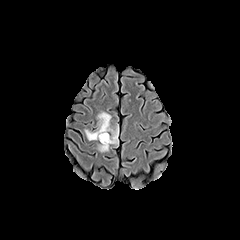
FLAIR MRI.
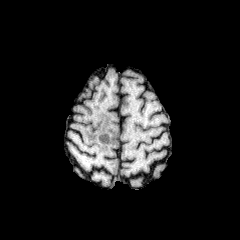
T1-weighted MR image.
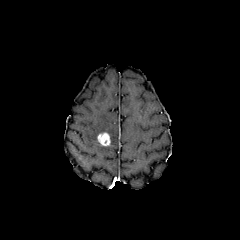
Post-contrast T1-weighted MR image.
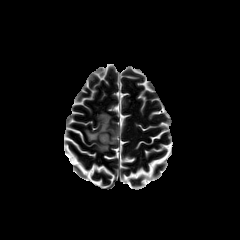
Same slice, T2-weighted MR image.
240x240 px; Axial view
The enhancing tumor is located at <box>97,132,110,146</box>. 2 peritumoral edema regions are located at <box>98,143,109,151</box>, <box>84,112,118,145</box>.